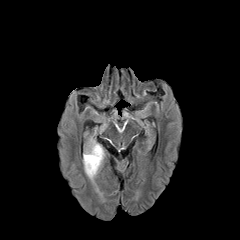
FLAIR MR image.
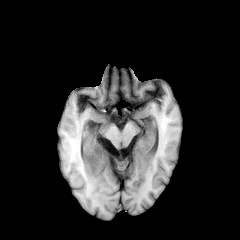
Same slice, T1-weighted magnetic resonance.
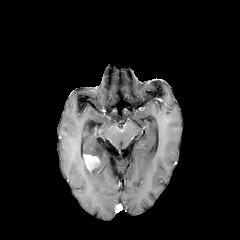
Post-contrast T1-weighted MR image of the same slice.
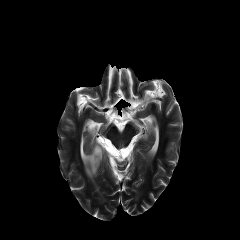
Same slice, T2-weighted MR image.
Axial plane | Brain
enhancing tumor: bounding box (x1=83, y1=154, x2=99, y2=171)
peritumoral edema: bounding box (x1=83, y1=137, x2=104, y2=180)